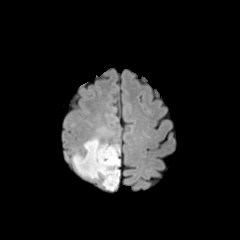
FLAIR magnetic resonance.
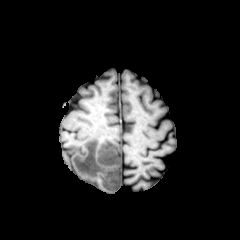
T1-weighted MR image.
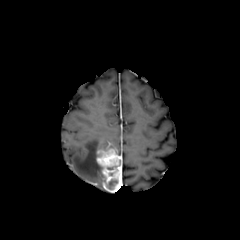
Post-contrast T1-weighted MR image of the same slice.
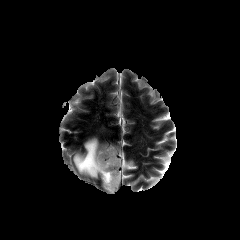
Same slice, T2-weighted MR image.
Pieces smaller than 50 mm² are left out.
The peritumoral edema lies within (73,138,119,178). The enhancing tumor is bounded by (96,148,121,192). The largest necrotic tumor core region is located at (107,180,117,189).